FLAIR magnetic resonance.
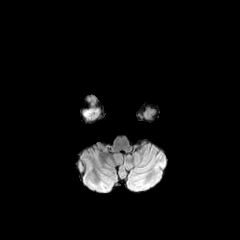
T1-weighted MR image.
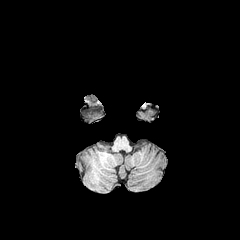
Post-contrast T1-weighted MR.
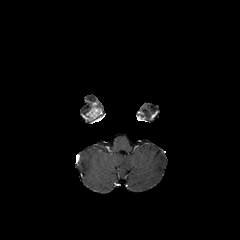
T2-weighted MRI.
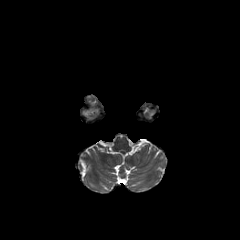
Axial slice, Image size 240x240
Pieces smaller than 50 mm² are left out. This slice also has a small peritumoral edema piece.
enhancing tumor: x1=84, y1=103, x2=100, y2=121